240x240. Slice 108 of 155.
FLAIR MR.
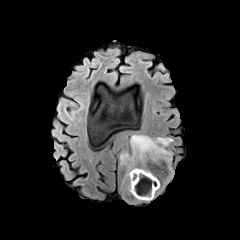
T1-weighted MR image.
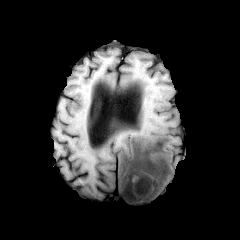
Post-contrast T1-weighted magnetic resonance.
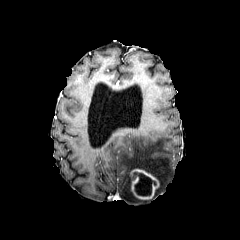
T2-weighted MR image.
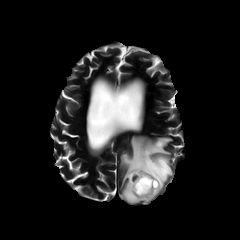
Segmented structures:
* peritumoral edema: [120,135,173,202]
* necrotic tumor core: [135,173,156,196]
* enhancing tumor: [130,168,159,199]